240x240. Brain. Slice 90 of 155. Axial slice.
FLAIR MR.
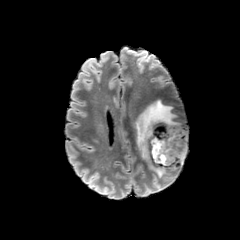
T1-weighted MR image.
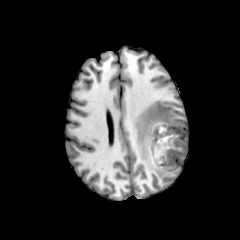
Post-contrast T1-weighted MRI.
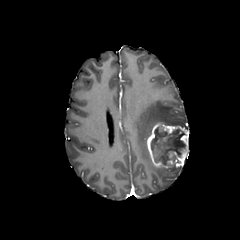
T2-weighted MRI.
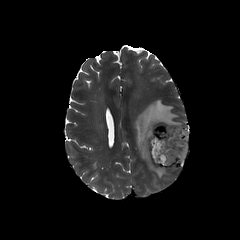
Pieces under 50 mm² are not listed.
enhancing_tumor:
  - box(146, 123, 189, 168)
peritumoral_edema:
  - box(135, 99, 187, 177)
necrotic_tumor_core:
  - box(151, 127, 185, 166)